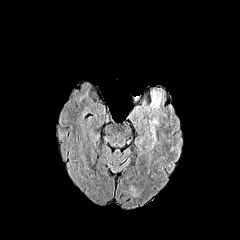
FLAIR MRI.
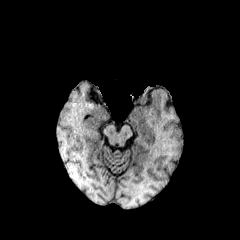
Same slice, T1-weighted MR image.
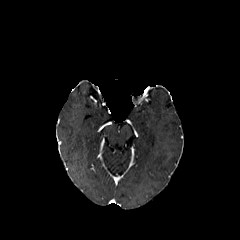
Post-contrast T1-weighted MR image.
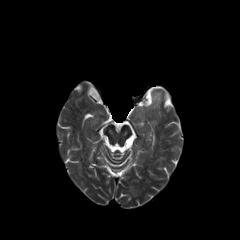
Same slice, T2-weighted MR.
Head. Image size 240x240.
Findings:
* peritumoral edema: box(151, 95, 160, 108); box(150, 119, 158, 140)